FLAIR MR.
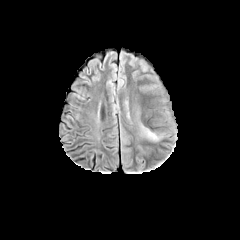
T1-weighted MR image.
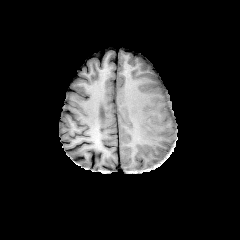
Post-contrast T1-weighted MR image.
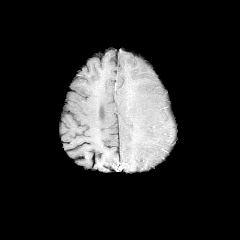
T2-weighted magnetic resonance.
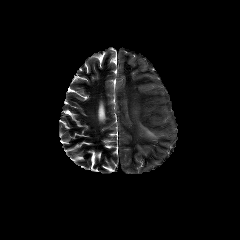
240x240
peritumoral edema: box=[141, 126, 158, 140]